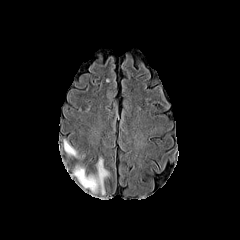
FLAIR MR image.
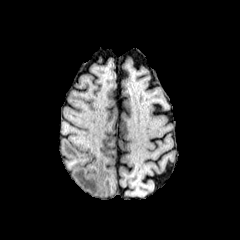
T1-weighted magnetic resonance of the same slice.
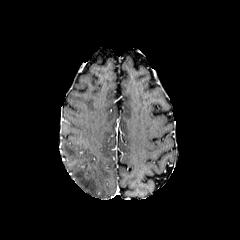
Post-contrast T1-weighted MR image.
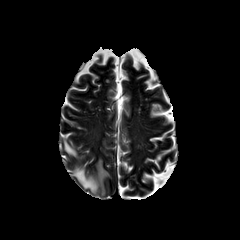
T2-weighted MRI.
Head.
2 peritumoral edema regions are bounded by (left=64, top=140, right=78, bottom=157), (left=73, top=158, right=109, bottom=194).